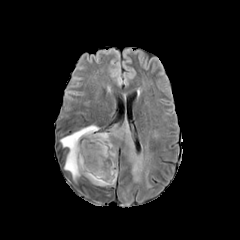
FLAIR MR image.
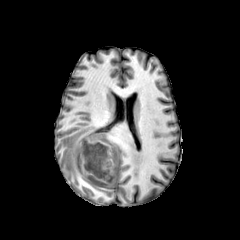
Same slice, T1-weighted MRI.
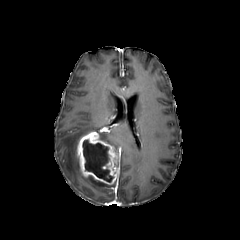
Same slice, post-contrast T1-weighted MR image.
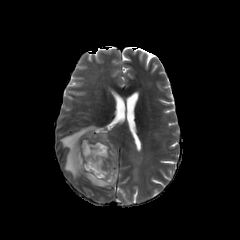
T2-weighted MR of the same slice.
Head
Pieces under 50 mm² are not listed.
necrotic tumor core — (82, 140, 113, 182)
peritumoral edema — (88, 176, 113, 186), (99, 128, 143, 182), (60, 125, 99, 179)
enhancing tumor — (77, 132, 119, 184)